240x240. Slice 71/155. Axial view.
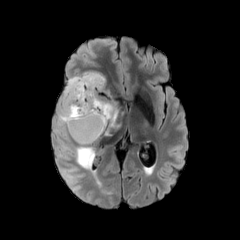
FLAIR MRI.
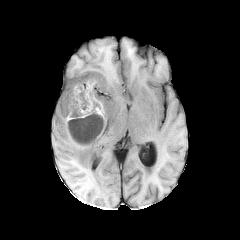
T1-weighted MR of the same slice.
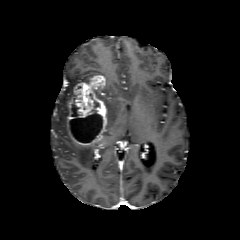
Post-contrast T1-weighted magnetic resonance of the same slice.
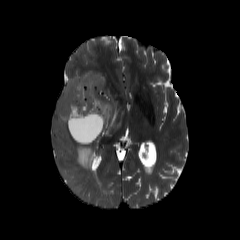
T2-weighted MR image.
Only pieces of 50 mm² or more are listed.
necrotic_tumor_core:
  - 70 94 102 142
enhancing_tumor:
  - 67 75 107 146
peritumoral_edema:
  - 74 145 94 169
  - 101 99 117 134
  - 57 72 100 127